FLAIR MRI.
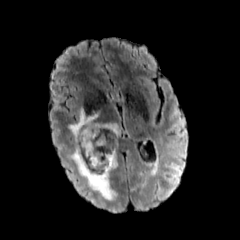
T1-weighted MRI.
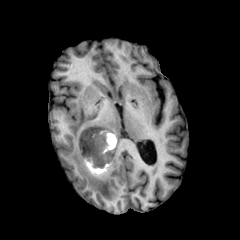
Post-contrast T1-weighted MR.
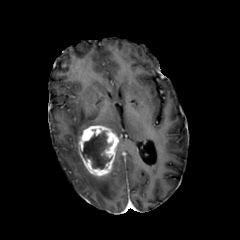
T2-weighted MRI.
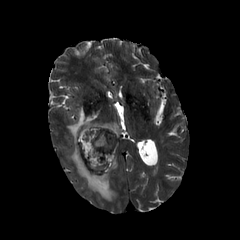
240x240. Head.
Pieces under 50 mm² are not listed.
{"enhancing_tumor": [{"x1": 78, "y1": 125, "x2": 118, "y2": 176}], "necrotic_tumor_core": [{"x1": 82, "y1": 131, "x2": 112, "y2": 169}], "peritumoral_edema": [{"x1": 69, "y1": 108, "x2": 119, "y2": 200}]}